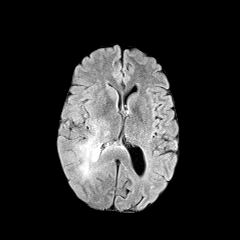
FLAIR MRI.
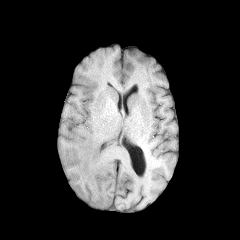
T1-weighted MRI.
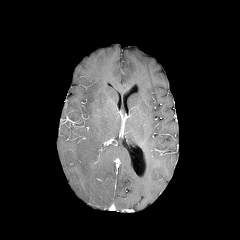
Post-contrast T1-weighted MR.
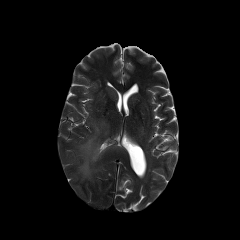
Same slice, T2-weighted magnetic resonance.
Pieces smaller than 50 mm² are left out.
{
  "peritumoral_edema": [
    "(left=75, top=120, right=123, bottom=180)"
  ]
}